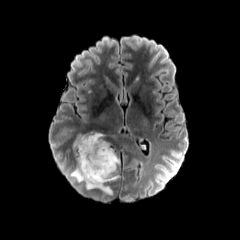
FLAIR MRI.
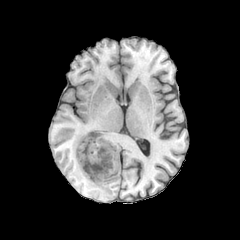
Same slice, T1-weighted MRI.
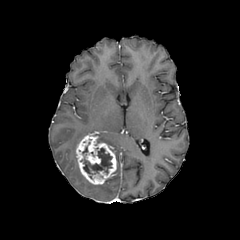
Post-contrast T1-weighted MR image of the same slice.
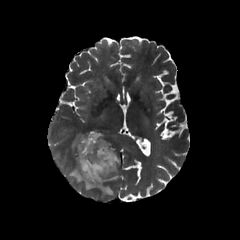
T2-weighted MRI.
Head
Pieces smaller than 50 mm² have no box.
necrotic_tumor_core:
  - box(80, 147, 112, 174)
enhancing_tumor:
  - box(76, 132, 117, 184)
peritumoral_edema:
  - box(70, 162, 112, 194)
  - box(95, 133, 109, 145)
  - box(73, 133, 89, 156)